Slice 71/155 | Axial slice
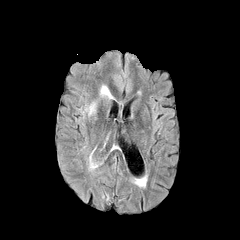
FLAIR MRI.
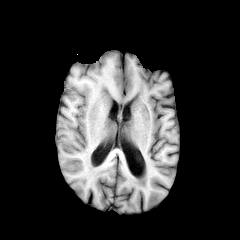
Same slice, T1-weighted magnetic resonance.
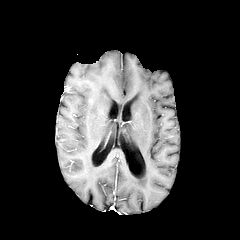
Post-contrast T1-weighted magnetic resonance.
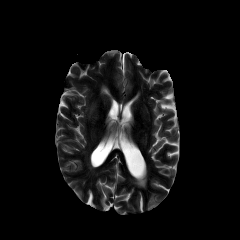
Same slice, T2-weighted MR image.
2 peritumoral edema regions appear at 86 103 95 115, 100 85 112 98.